Head
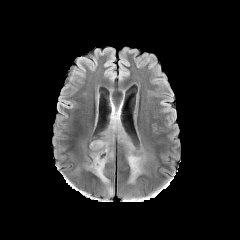
FLAIR MR image.
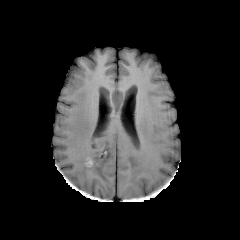
T1-weighted magnetic resonance of the same slice.
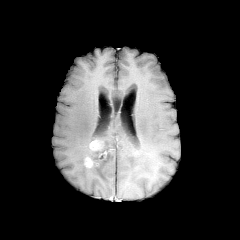
Post-contrast T1-weighted MRI of the same slice.
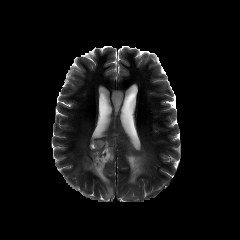
T2-weighted MR image.
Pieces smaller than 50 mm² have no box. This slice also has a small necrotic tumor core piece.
enhancing_tumor:
  - x1=89 y1=140 x2=103 y2=151
  - x1=85 y1=157 x2=93 y2=167
peritumoral_edema:
  - x1=85 y1=109 x2=146 y2=194